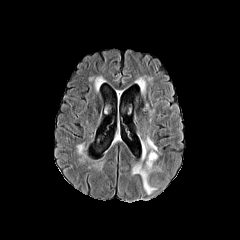
FLAIR MR.
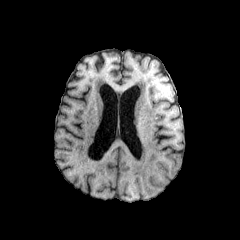
T1-weighted magnetic resonance of the same slice.
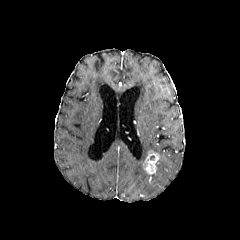
Post-contrast T1-weighted MR.
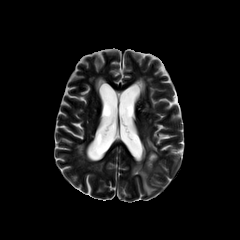
T2-weighted MRI of the same slice.
Image size 240x240. Brain.
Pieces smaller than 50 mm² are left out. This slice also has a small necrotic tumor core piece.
Findings:
- enhancing tumor: box=[144, 151, 158, 173]
- peritumoral edema: box=[132, 164, 156, 194]; box=[145, 136, 157, 153]